Slice 42/155, Axial slice, Image size 240x240
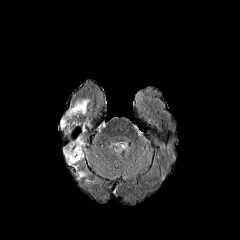
FLAIR MRI.
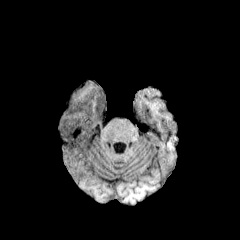
Same slice, T1-weighted MR.
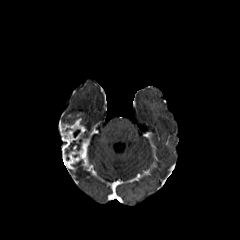
Post-contrast T1-weighted MR.
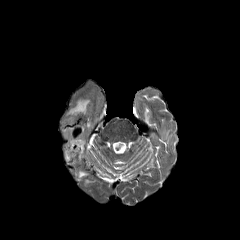
Same slice, T2-weighted MRI.
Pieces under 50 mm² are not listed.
The largest peritumoral edema region appears at region(67, 99, 89, 115). The largest enhancing tumor region lies within region(59, 119, 87, 165). The 2 largest necrotic tumor core regions are bounded by region(65, 139, 82, 159); region(62, 118, 75, 124).